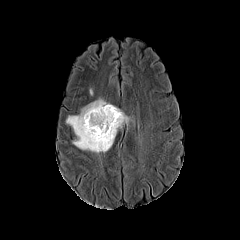
FLAIR MR.
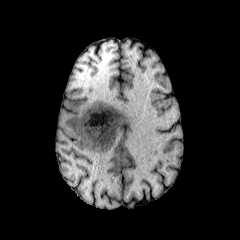
T1-weighted MR image.
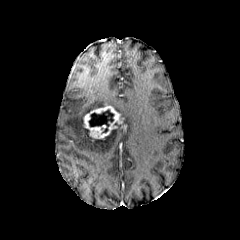
Post-contrast T1-weighted MRI.
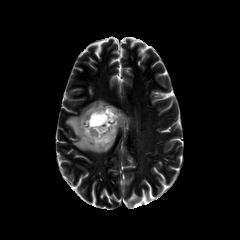
T2-weighted MRI.
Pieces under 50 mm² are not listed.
<segmentation>
  <peritumoral_edema>box(66, 98, 129, 153)</peritumoral_edema>
  <necrotic_tumor_core>box(88, 109, 114, 134)</necrotic_tumor_core>
  <enhancing_tumor>box(83, 105, 122, 140)</enhancing_tumor>
</segmentation>